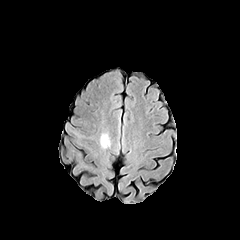
FLAIR MRI.
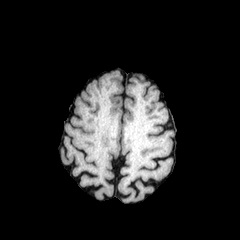
T1-weighted MR image of the same slice.
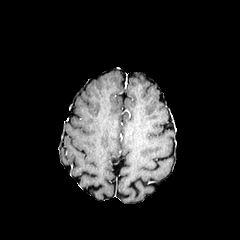
Post-contrast T1-weighted magnetic resonance.
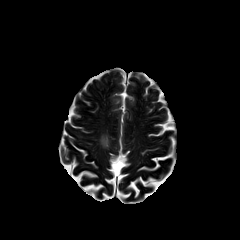
T2-weighted MR.
Brain
Findings:
• peritumoral edema: (100, 133, 110, 148)